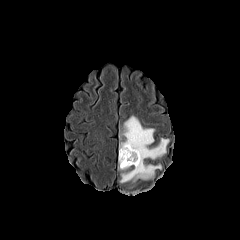
FLAIR MR.
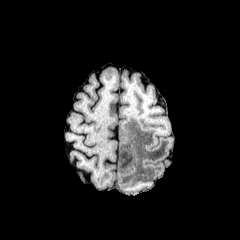
Same slice, T1-weighted MR image.
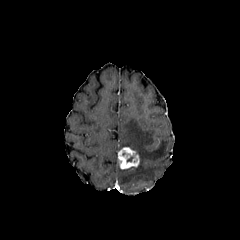
Post-contrast T1-weighted magnetic resonance of the same slice.
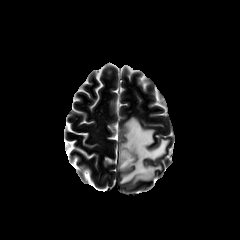
T2-weighted MR image.
Axial slice.
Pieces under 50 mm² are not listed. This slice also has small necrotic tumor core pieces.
peritumoral edema: bounding box bbox=[118, 116, 169, 183]
enhancing tumor: bounding box bbox=[118, 147, 139, 169]